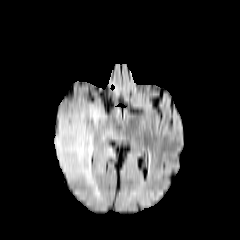
FLAIR MRI.
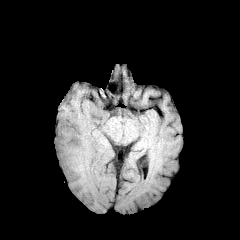
T1-weighted magnetic resonance.
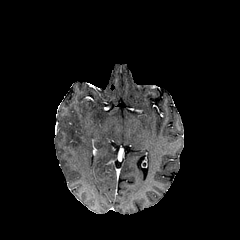
Post-contrast T1-weighted magnetic resonance.
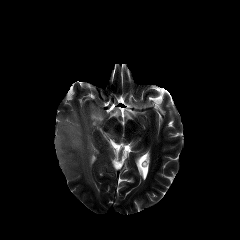
T2-weighted MR of the same slice.
peritumoral edema: <box>54,104,117,200</box>, <box>95,145,114,172</box>